Image width 240 mm, 1.00 mm slice spacing; 240x240 px; Axial slice
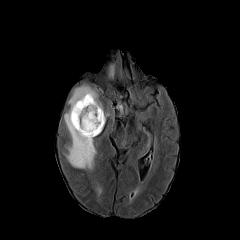
FLAIR MR image.
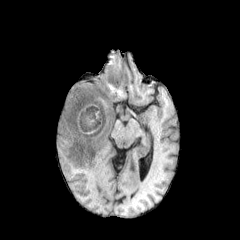
T1-weighted MR.
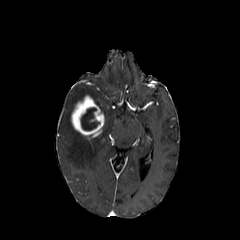
Post-contrast T1-weighted MR image.
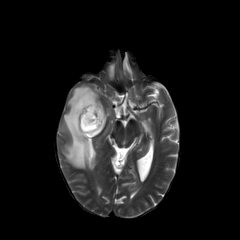
T2-weighted MR image of the same slice.
peritumoral edema — <box>63,84,108,167</box>, <box>109,64,114,77</box>
necrotic tumor core — <box>81,108,99,130</box>
enhancing tumor — <box>71,95,104,139</box>